Slice index 75 | Axial slice
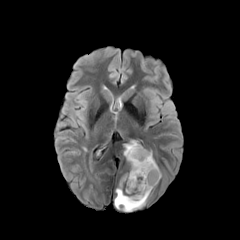
FLAIR MR image.
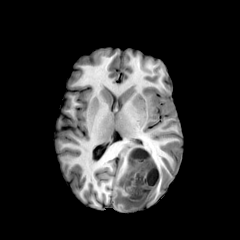
Same slice, T1-weighted MR image.
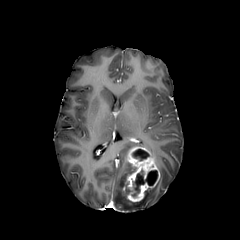
Same slice, post-contrast T1-weighted MR.
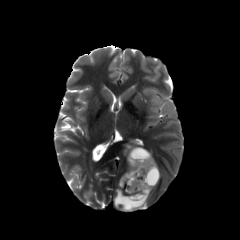
T2-weighted MR of the same slice.
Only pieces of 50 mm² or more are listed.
The 2 largest necrotic tumor core regions are located at (left=133, top=170, right=157, bottom=192), (left=133, top=149, right=149, bottom=160). The 2 largest peritumoral edema regions are located at (left=123, top=142, right=139, bottom=157), (left=114, top=167, right=151, bottom=210). The enhancing tumor is located at (left=126, top=146, right=159, bottom=202).